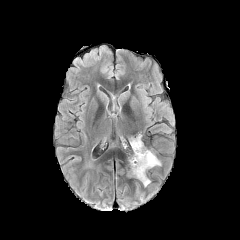
FLAIR MR.
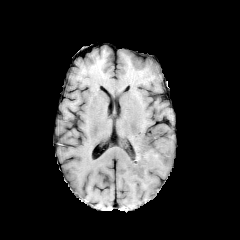
T1-weighted MRI.
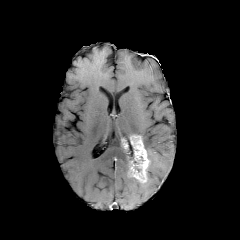
Same slice, post-contrast T1-weighted MR image.
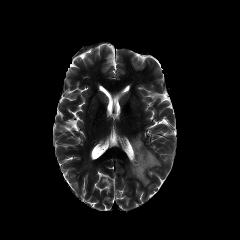
T2-weighted magnetic resonance of the same slice.
Head; Axial view
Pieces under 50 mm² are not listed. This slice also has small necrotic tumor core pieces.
peritumoral edema — l=146, t=149, r=160, b=168
enhancing tumor — l=129, t=135, r=150, b=182